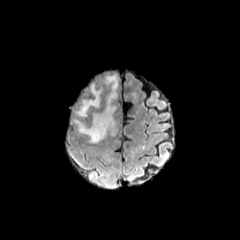
FLAIR MR image.
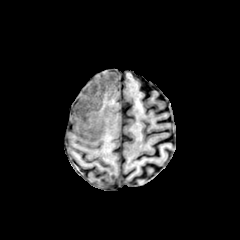
T1-weighted MR image of the same slice.
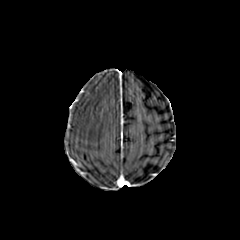
Post-contrast T1-weighted MRI.
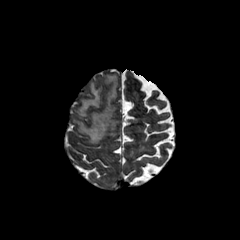
Same slice, T2-weighted MR.
peritumoral edema = [x1=74, y1=75, x2=118, y2=143], [x1=77, y1=84, x2=101, y2=116]